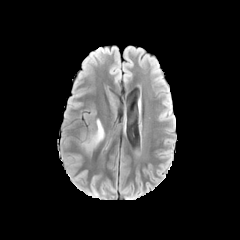
FLAIR MRI.
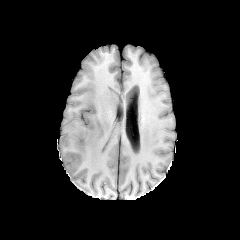
T1-weighted MRI.
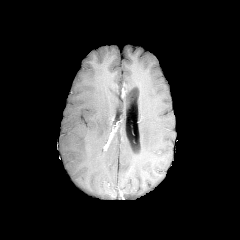
Post-contrast T1-weighted magnetic resonance.
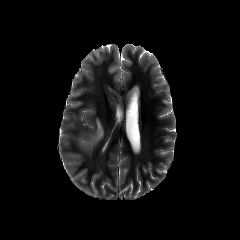
Same slice, T2-weighted MR.
<segmentation>
  <peritumoral_edema>{"x1": 82, "y1": 119, "x2": 104, "y2": 150}</peritumoral_edema>
</segmentation>